FLAIR MRI.
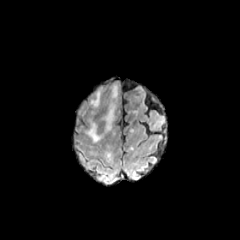
T1-weighted magnetic resonance.
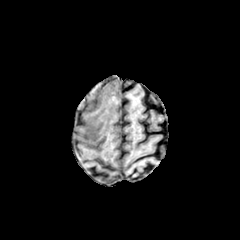
Post-contrast T1-weighted MR.
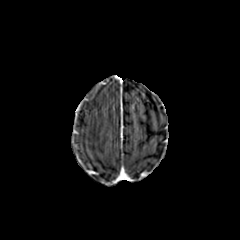
T2-weighted MR image.
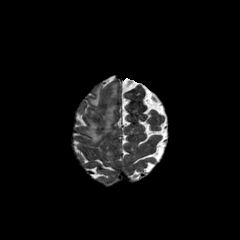
Head | Axial view
4 peritumoral edema regions are located at box(86, 121, 102, 142); box(103, 104, 115, 132); box(90, 90, 100, 106); box(111, 85, 117, 97).